Axial slice, Slice 96/155, Head, Image covers 240 mm x 240 mm
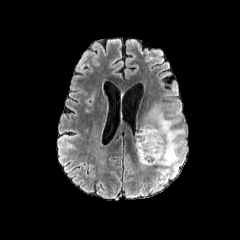
FLAIR MR image.
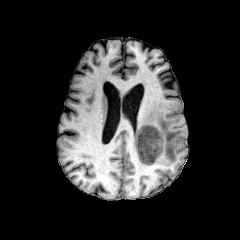
T1-weighted MR of the same slice.
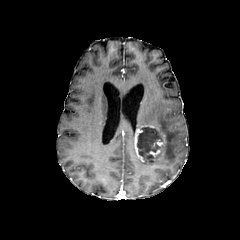
Post-contrast T1-weighted MR image.
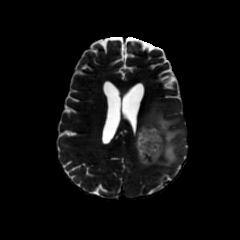
T2-weighted magnetic resonance of the same slice.
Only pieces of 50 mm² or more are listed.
necrotic_tumor_core:
  - 137, 127, 160, 161
enhancing_tumor:
  - 134, 124, 165, 163
peritumoral_edema:
  - 139, 104, 186, 172